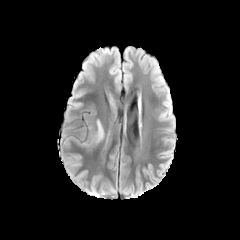
FLAIR MRI.
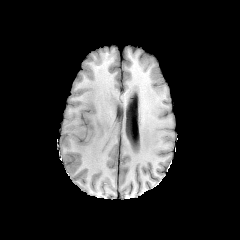
T1-weighted MR image.
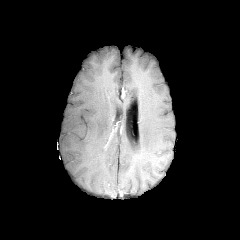
Post-contrast T1-weighted magnetic resonance.
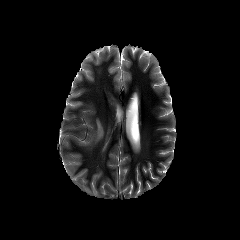
Same slice, T2-weighted MR image.
240x240. Axial plane.
peritumoral edema = (95,121,103,142)